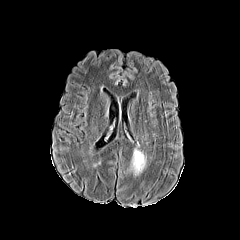
FLAIR MRI.
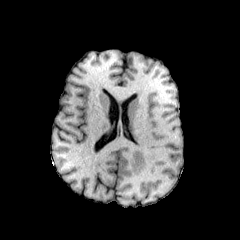
T1-weighted MR image of the same slice.
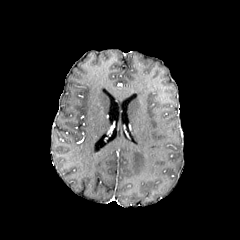
Post-contrast T1-weighted MR.
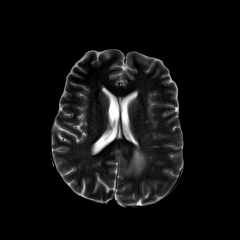
T2-weighted MRI.
Axial plane.
Findings:
- peritumoral edema: rect(129, 149, 146, 175)